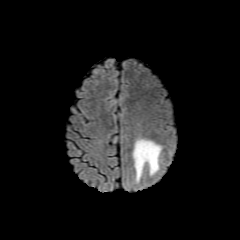
FLAIR MRI.
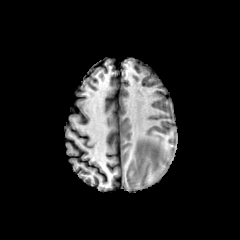
T1-weighted MR.
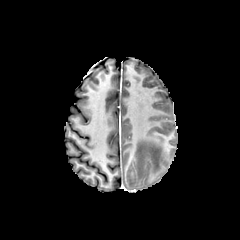
Post-contrast T1-weighted MR image.
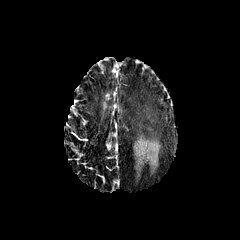
T2-weighted MR.
<segmentation>
  <peritumoral_edema><box>133,138,161,182</box></peritumoral_edema>
</segmentation>